Axial plane | Image covers 240 mm x 240 mm
FLAIR MR image.
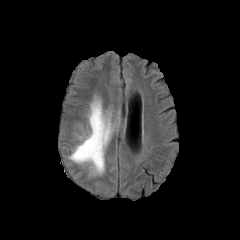
T1-weighted MR.
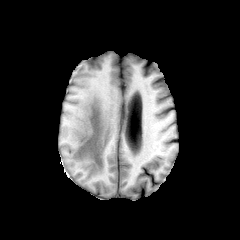
Post-contrast T1-weighted MR.
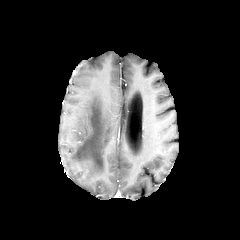
T2-weighted MR.
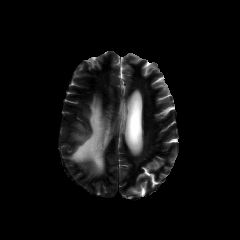
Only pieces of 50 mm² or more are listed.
<segmentation>
  <peritumoral_edema>69, 97, 113, 173</peritumoral_edema>
</segmentation>